Brain | Slice 65 of 155
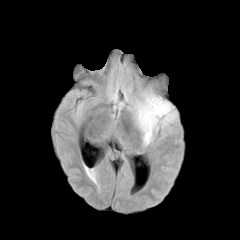
FLAIR MR image.
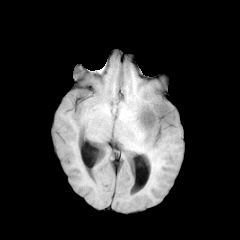
T1-weighted MR image of the same slice.
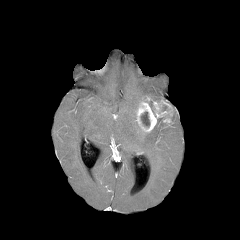
Same slice, post-contrast T1-weighted MRI.
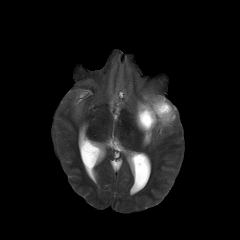
Same slice, T2-weighted MR.
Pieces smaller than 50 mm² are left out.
Segmented structures:
• peritumoral edema: {"x1": 134, "y1": 92, "x2": 170, "y2": 146}
• enhancing tumor: {"x1": 136, "y1": 96, "x2": 176, "y2": 132}
• necrotic tumor core: {"x1": 141, "y1": 112, "x2": 149, "y2": 126}